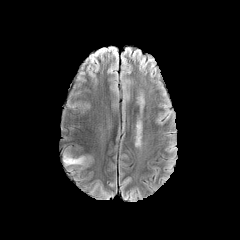
FLAIR MR image.
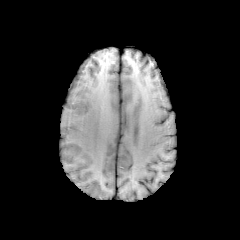
T1-weighted MRI.
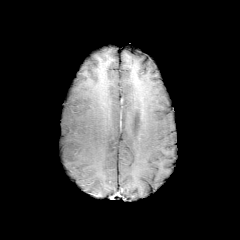
Post-contrast T1-weighted magnetic resonance.
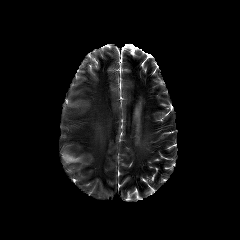
Same slice, T2-weighted MR image.
Head. 240x240 px.
Segmented structures:
• peritumoral edema: <bbox>63, 153, 83, 164</bbox>